FLAIR magnetic resonance.
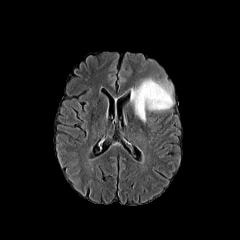
T1-weighted MR.
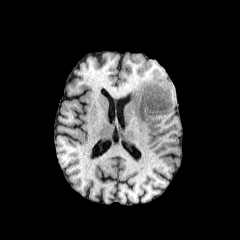
Post-contrast T1-weighted magnetic resonance.
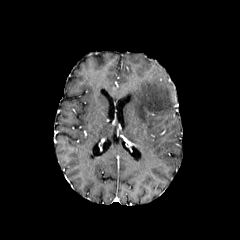
T2-weighted MRI.
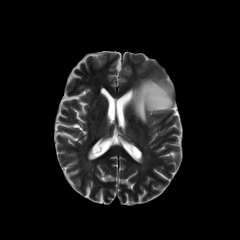
240x240 | Axial plane
peritumoral edema at 132, 78, 173, 122